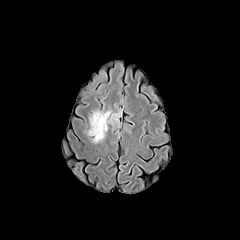
FLAIR MRI.
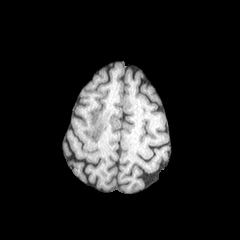
Same slice, T1-weighted magnetic resonance.
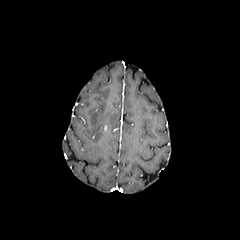
Post-contrast T1-weighted magnetic resonance of the same slice.
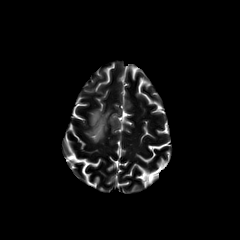
T2-weighted magnetic resonance.
Axial plane, Brain
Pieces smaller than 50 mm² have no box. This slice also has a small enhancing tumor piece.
peritumoral edema — region(88, 110, 120, 142)